FLAIR MR image.
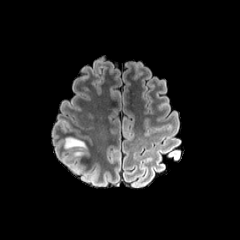
T1-weighted MRI.
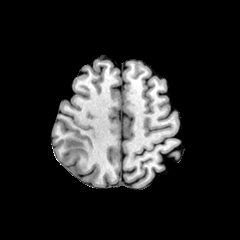
Post-contrast T1-weighted MR image.
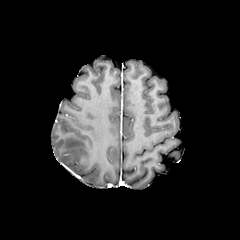
T2-weighted MRI.
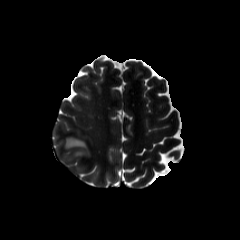
Brain; Image size 240x240
peritumoral edema at l=64, t=137, r=88, b=159